Image size 240x240. Axial view.
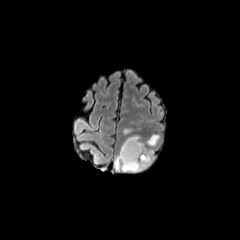
FLAIR MRI.
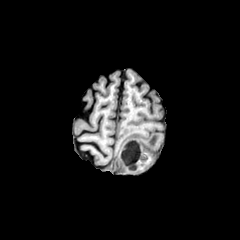
T1-weighted MRI of the same slice.
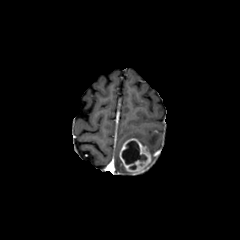
Same slice, post-contrast T1-weighted MR.
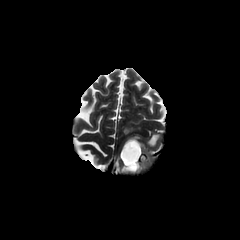
T2-weighted MRI of the same slice.
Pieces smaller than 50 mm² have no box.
• peritumoral edema: bbox(146, 134, 159, 146); bbox(114, 154, 126, 172)
• enhancing tumor: bbox(119, 138, 151, 173)
• necrotic tumor core: bbox(122, 141, 147, 164)